FLAIR magnetic resonance.
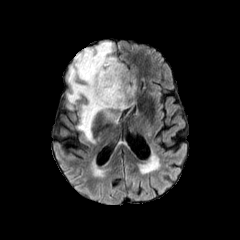
T1-weighted magnetic resonance.
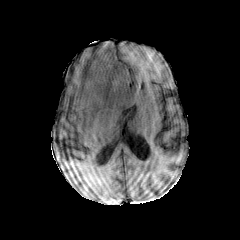
Post-contrast T1-weighted magnetic resonance.
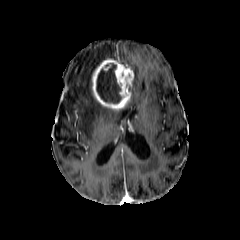
T2-weighted MR.
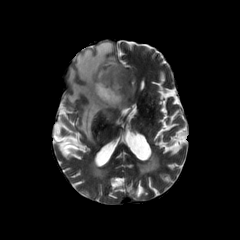
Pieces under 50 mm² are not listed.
peritumoral_edema:
  - bbox(131, 73, 136, 101)
  - bbox(67, 42, 117, 141)
enhancing_tumor:
  - bbox(91, 58, 134, 110)
necrotic_tumor_core:
  - bbox(96, 64, 120, 103)